Head; Axial view
FLAIR magnetic resonance.
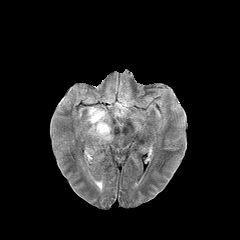
T1-weighted magnetic resonance.
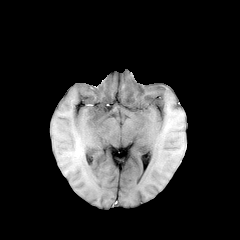
Post-contrast T1-weighted MR image.
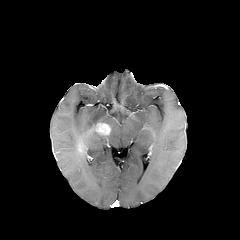
T2-weighted MR.
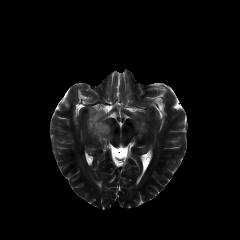
Segmented structures:
• peritumoral edema: bbox(88, 107, 111, 139)
• enhancing tumor: bbox(91, 122, 110, 135)